Axial slice. Image width 240 mm. Slice index 117.
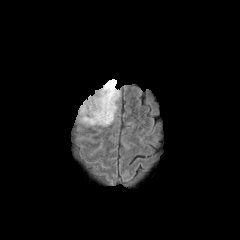
FLAIR MR image.
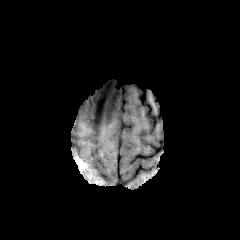
T1-weighted MR image.
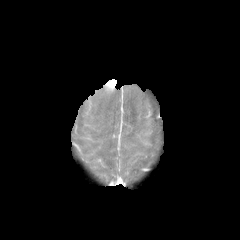
Same slice, post-contrast T1-weighted magnetic resonance.
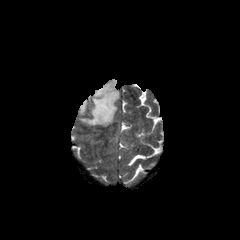
Same slice, T2-weighted MR image.
The enhancing tumor lies within (left=105, top=79, right=116, bottom=90). The peritumoral edema is at (left=78, top=85, right=119, bottom=126).